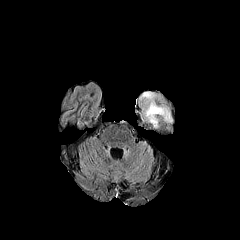
FLAIR magnetic resonance.
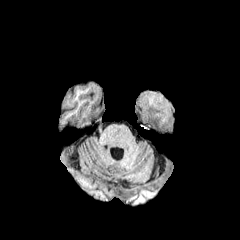
T1-weighted MR image of the same slice.
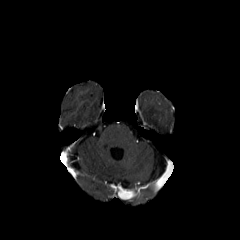
Post-contrast T1-weighted magnetic resonance.
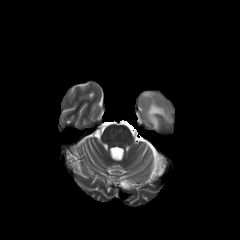
T2-weighted magnetic resonance.
Axial slice
peritumoral edema — (141, 92, 172, 127)